Slice index 40 | Head | Axial slice
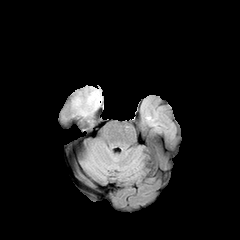
FLAIR MRI.
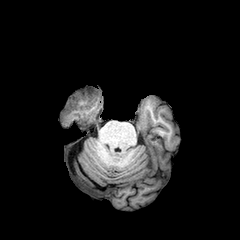
T1-weighted MR image.
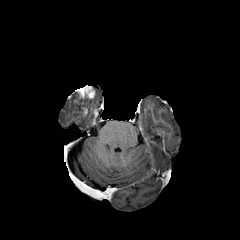
Post-contrast T1-weighted magnetic resonance.
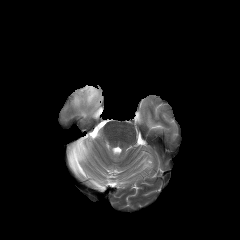
T2-weighted MR image.
peritumoral edema: bounding box bbox=[72, 87, 101, 116]
enhancing tumor: bounding box bbox=[74, 85, 95, 102]